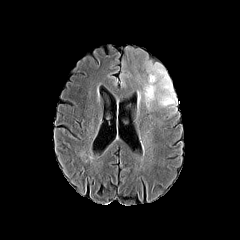
FLAIR MR.
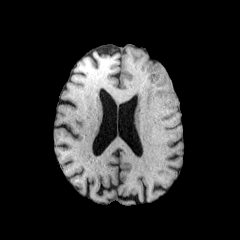
T1-weighted MRI.
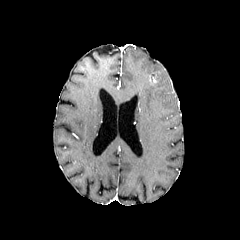
Same slice, post-contrast T1-weighted magnetic resonance.
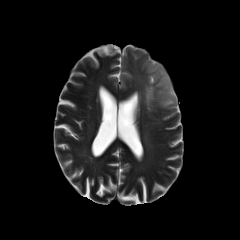
T2-weighted magnetic resonance.
Brain, Axial plane
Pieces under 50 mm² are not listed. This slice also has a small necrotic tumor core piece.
peritumoral edema — (left=140, top=60, right=177, bottom=110)
enhancing tumor — (left=149, top=73, right=158, bottom=83)